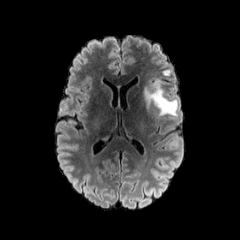
FLAIR MR.
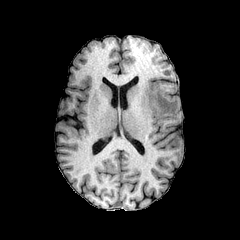
T1-weighted MR.
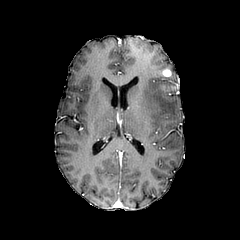
Post-contrast T1-weighted magnetic resonance.
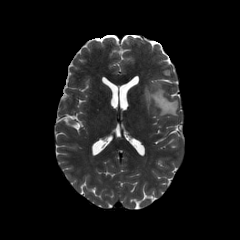
Same slice, T2-weighted MR image.
240x240 px | Axial view | Brain
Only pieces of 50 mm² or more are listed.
Findings:
- peritumoral edema: <box>143,81,177,116</box>
- enhancing tumor: <box>162,69,171,76</box>